FLAIR MRI.
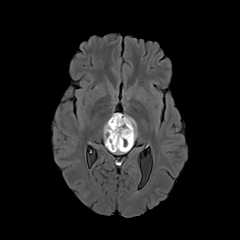
T1-weighted MR image.
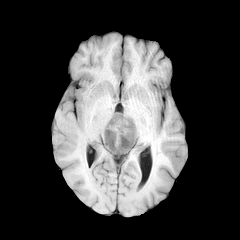
Post-contrast T1-weighted MRI.
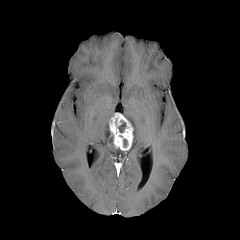
T2-weighted MRI.
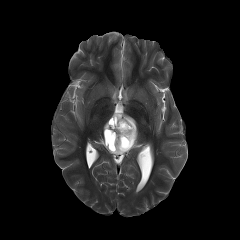
Axial slice | Brain | Image size 240x240
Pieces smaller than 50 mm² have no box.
The 2 largest necrotic tumor core regions are bounded by <bbox>118, 120, 125, 132</bbox>, <bbox>106, 129, 115, 149</bbox>. The largest enhancing tumor region lies within <bbox>109, 113, 133, 150</bbox>. The 2 largest peritumoral edema regions appear at <bbox>122, 114, 137, 146</bbox>, <bbox>103, 120, 129, 154</bbox>.